Head. Axial slice. Slice index 86.
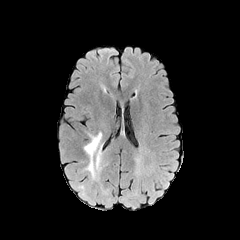
FLAIR magnetic resonance.
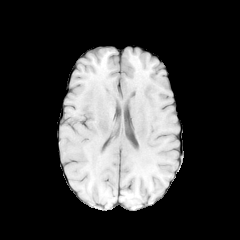
Same slice, T1-weighted MR image.
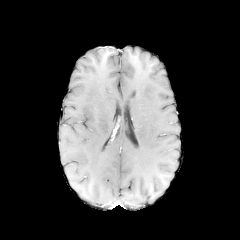
Post-contrast T1-weighted MRI of the same slice.
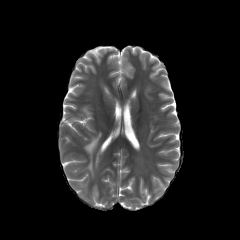
T2-weighted MR of the same slice.
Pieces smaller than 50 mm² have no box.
<segmentation>
  <peritumoral_edema>rect(82, 132, 102, 179)</peritumoral_edema>
</segmentation>